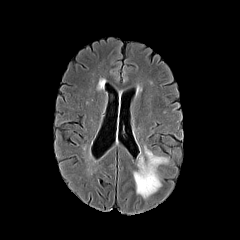
FLAIR MR image.
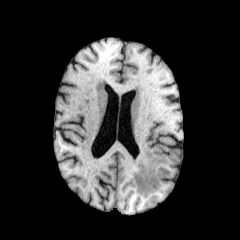
T1-weighted magnetic resonance.
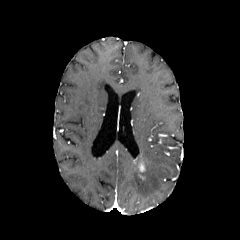
Post-contrast T1-weighted MR.
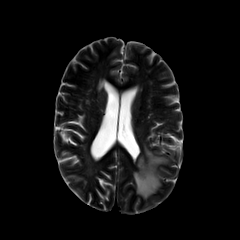
T2-weighted MR image of the same slice.
Head | Axial slice
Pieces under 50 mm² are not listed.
enhancing tumor: l=138, t=161, r=145, b=172 | peritumoral edema: l=133, t=145, r=168, b=198